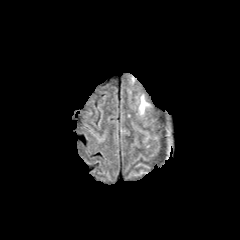
FLAIR MRI.
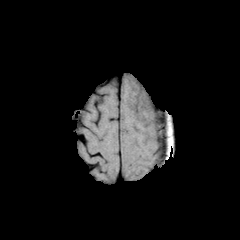
T1-weighted magnetic resonance.
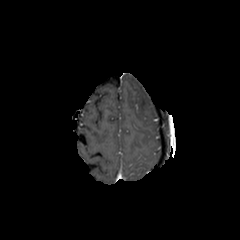
Post-contrast T1-weighted magnetic resonance of the same slice.
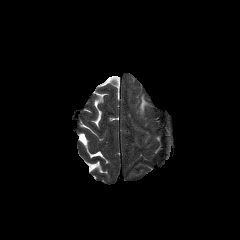
T2-weighted MR image.
Brain | Image size 240x240 | Axial slice
The peritumoral edema is bounded by 139,96,148,114.